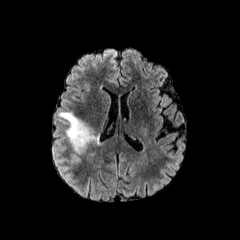
FLAIR MRI.
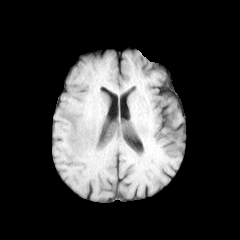
T1-weighted MRI.
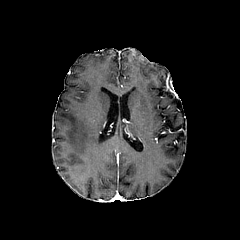
Post-contrast T1-weighted magnetic resonance.
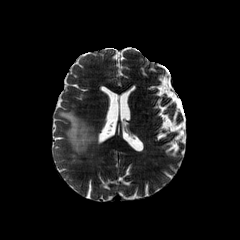
T2-weighted MRI of the same slice.
Axial plane.
<segmentation>
  <peritumoral_edema>[x1=59, y1=112, x2=98, y2=153]</peritumoral_edema>
</segmentation>